Brain; Axial slice
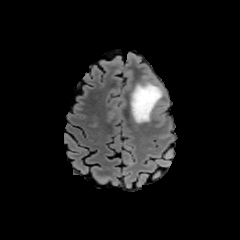
FLAIR magnetic resonance.
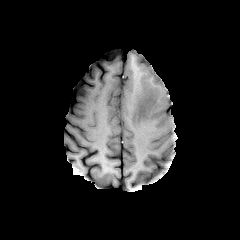
T1-weighted magnetic resonance.
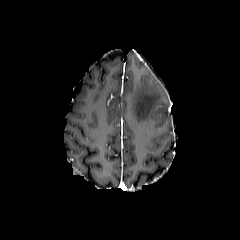
Post-contrast T1-weighted MR of the same slice.
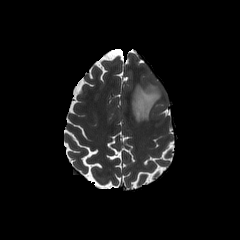
T2-weighted MR image.
The peritumoral edema is located at <box>130,82,162,122</box>.